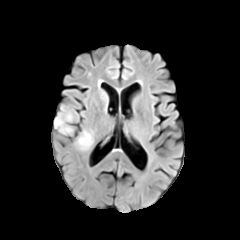
FLAIR MRI.
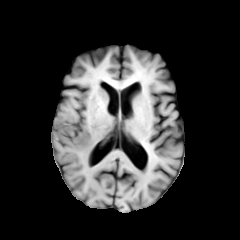
Same slice, T1-weighted MR image.
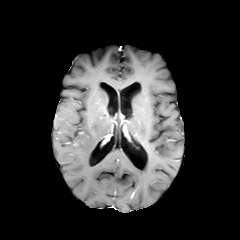
Post-contrast T1-weighted MR.
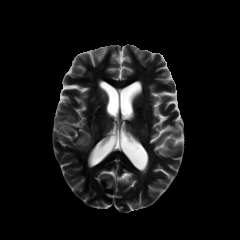
Same slice, T2-weighted magnetic resonance.
Brain | 240x240 px | Axial plane
peritumoral edema = left=54, top=114, right=72, bottom=133; left=75, top=130, right=93, bottom=150